FLAIR MR.
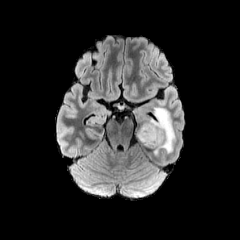
T1-weighted MR image.
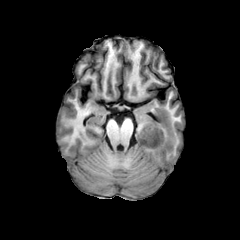
Post-contrast T1-weighted MR.
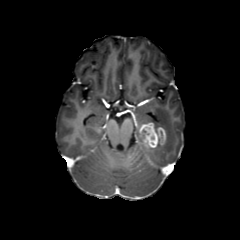
T2-weighted MR image.
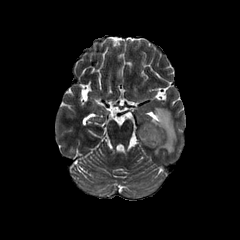
240x240.
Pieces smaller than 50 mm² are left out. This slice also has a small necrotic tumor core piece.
Segmented structures:
* peritumoral edema: rect(136, 124, 143, 142); rect(144, 107, 175, 155)
* enhancing tumor: rect(139, 123, 165, 147)